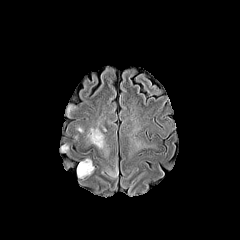
FLAIR magnetic resonance.
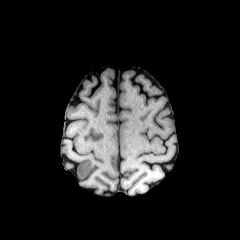
T1-weighted MR image of the same slice.
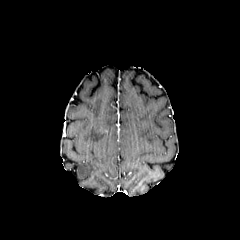
Post-contrast T1-weighted MR image.
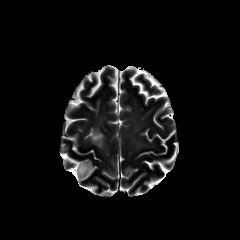
Same slice, T2-weighted magnetic resonance.
Head
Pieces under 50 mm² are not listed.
peritumoral edema: x1=89 y1=129 x2=103 y2=147, x1=77 y1=159 x2=93 y2=177